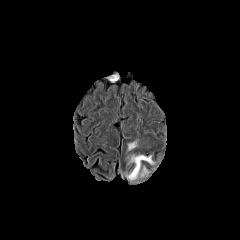
FLAIR MR image.
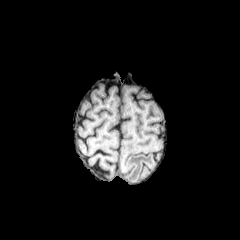
T1-weighted magnetic resonance.
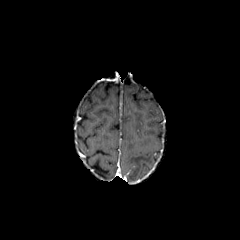
Post-contrast T1-weighted MR image of the same slice.
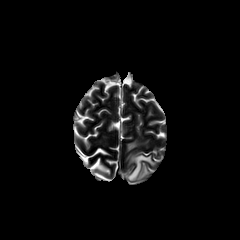
T2-weighted MRI.
Brain.
peritumoral_edema:
  - 128:141:137:150
  - 126:153:153:181